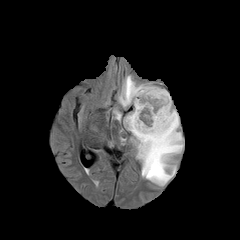
FLAIR magnetic resonance.
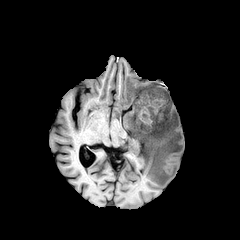
T1-weighted MR.
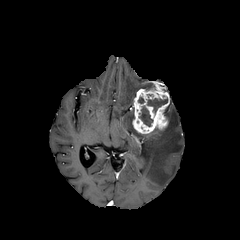
Post-contrast T1-weighted MR image.
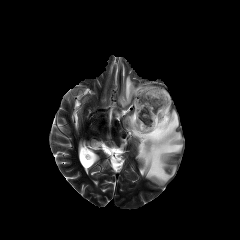
Same slice, T2-weighted MR image.
Brain
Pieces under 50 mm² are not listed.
peritumoral edema — <box>114,110,121,120</box>, <box>124,102,183,185</box>, <box>119,75,150,107</box>
necrotic tumor core — <box>139,107,152,126</box>, <box>148,98,167,112</box>
enhancing tumor — <box>132,83,171,133</box>